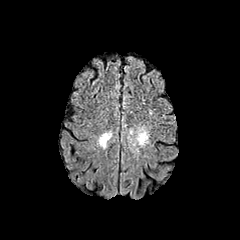
FLAIR MRI.
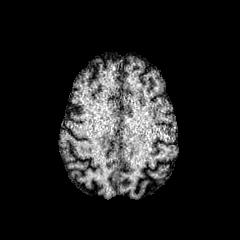
T1-weighted magnetic resonance.
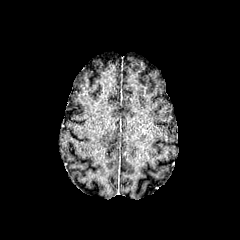
Same slice, post-contrast T1-weighted MRI.
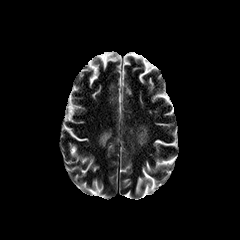
Same slice, T2-weighted MR image.
Axial slice | Brain
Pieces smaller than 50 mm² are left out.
peritumoral edema — l=98, t=131, r=112, b=148; l=132, t=126, r=149, b=146